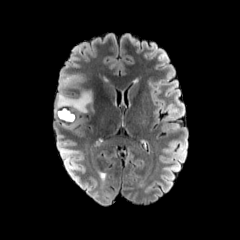
FLAIR MR.
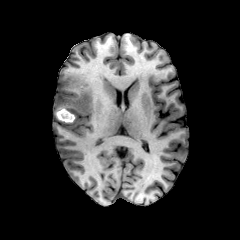
Same slice, T1-weighted MR image.
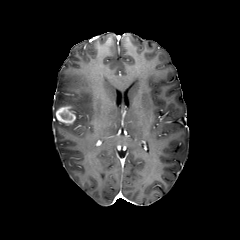
Post-contrast T1-weighted magnetic resonance.
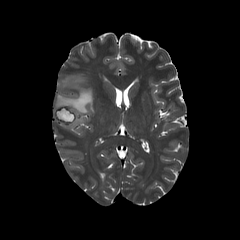
T2-weighted magnetic resonance.
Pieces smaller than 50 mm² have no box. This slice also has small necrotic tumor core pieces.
enhancing tumor — rect(55, 106, 76, 125)
peritumoral edema — rect(54, 73, 93, 114)